FLAIR magnetic resonance.
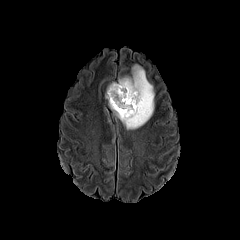
T1-weighted MR.
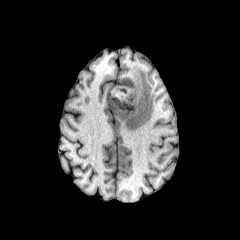
Post-contrast T1-weighted magnetic resonance.
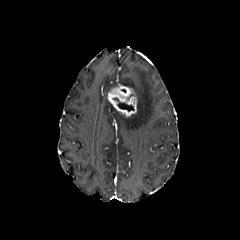
T2-weighted magnetic resonance.
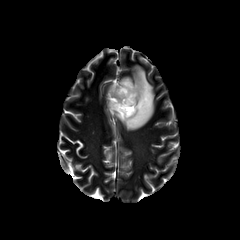
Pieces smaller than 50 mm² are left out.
peritumoral edema — 109 64 154 130, 107 83 117 93
enhancing tumor — 107 84 136 116
necrotic tumor core — 113 98 133 111